FLAIR MRI.
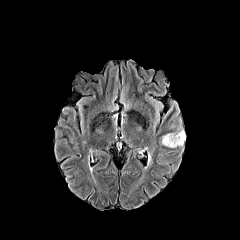
T1-weighted MR image.
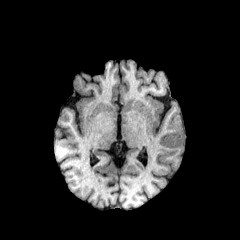
Post-contrast T1-weighted MR image.
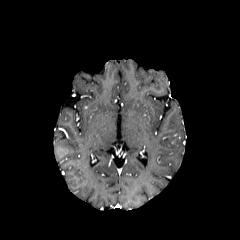
T2-weighted magnetic resonance.
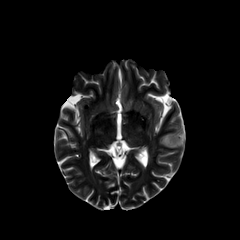
Head.
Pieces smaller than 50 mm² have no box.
peritumoral_edema:
  - region(162, 126, 185, 147)
enhancing_tumor:
  - region(169, 135, 178, 144)